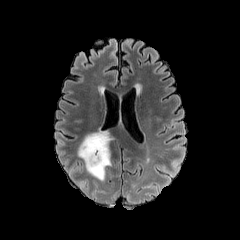
FLAIR magnetic resonance.
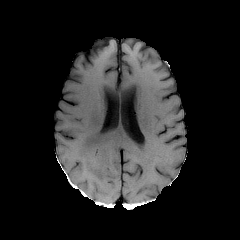
Same slice, T1-weighted MR image.
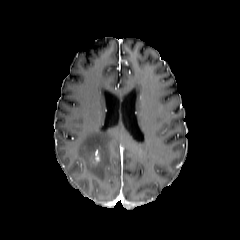
Post-contrast T1-weighted magnetic resonance of the same slice.
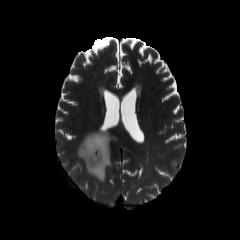
Same slice, T2-weighted MR image.
The enhancing tumor is located at (x1=92, y1=149, x2=99, y2=163). The peritumoral edema is bounded by (x1=77, y1=129, x2=111, y2=180).